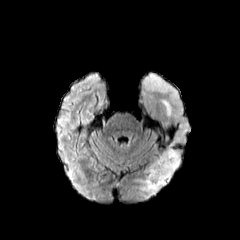
FLAIR magnetic resonance.
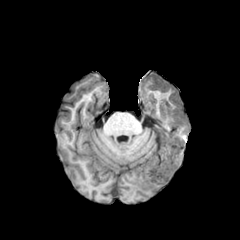
Same slice, T1-weighted MR.
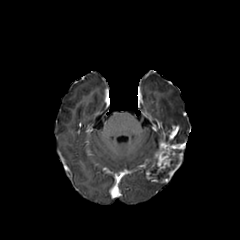
Post-contrast T1-weighted magnetic resonance.
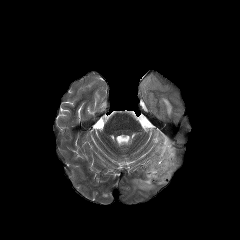
T2-weighted MR.
Axial plane
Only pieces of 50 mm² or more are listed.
Segmented structures:
* enhancing tumor: l=146, t=143, r=183, b=183
* peritumoral edema: l=169, t=130, r=185, b=144; l=134, t=156, r=166, b=193; l=162, t=100, r=171, b=115
* necrotic tumor core: l=149, t=160, r=174, b=180